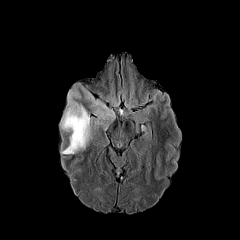
FLAIR MR.
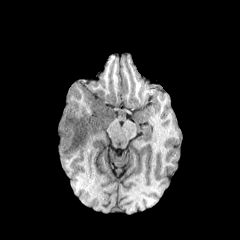
T1-weighted magnetic resonance.
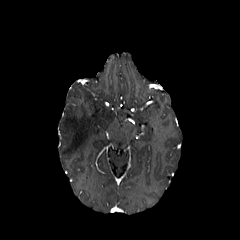
Post-contrast T1-weighted MRI.
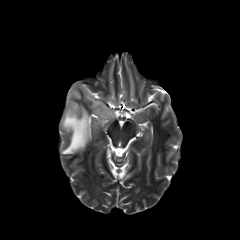
Same slice, T2-weighted magnetic resonance.
Brain | Axial view | 240x240 px
Segmented structures:
- peritumoral edema: bbox(60, 87, 92, 154); bbox(83, 89, 113, 124)